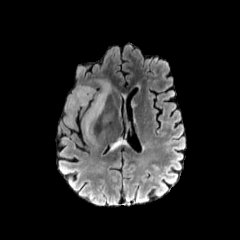
FLAIR magnetic resonance.
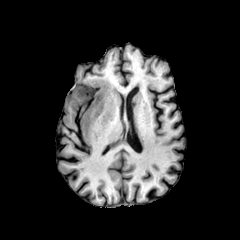
T1-weighted MR image.
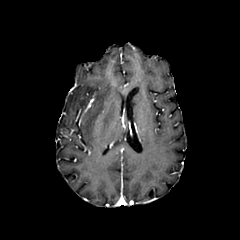
Post-contrast T1-weighted MR image.
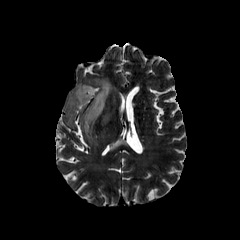
T2-weighted MR.
Head; Axial view; 240x240 px
{
  "peritumoral_edema": [
    "102, 114, 112, 124",
    "66, 79, 112, 139"
  ]
}